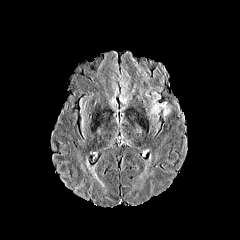
FLAIR magnetic resonance.
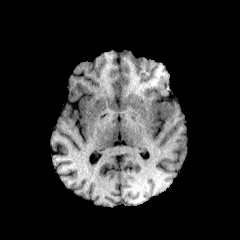
T1-weighted MR of the same slice.
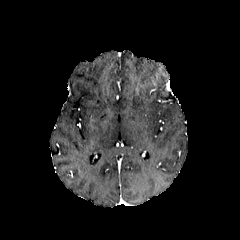
Post-contrast T1-weighted magnetic resonance.
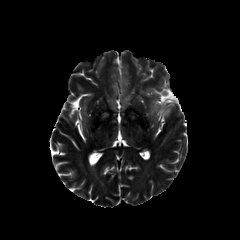
Same slice, T2-weighted MR image.
peritumoral edema: box=[151, 104, 159, 113]; box=[161, 103, 170, 116]